Slice 80 of 155
FLAIR MR image.
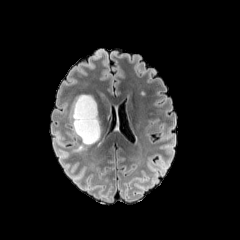
T1-weighted MR image.
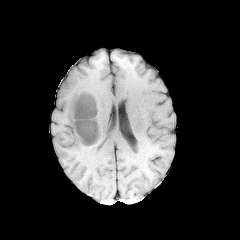
Post-contrast T1-weighted MR.
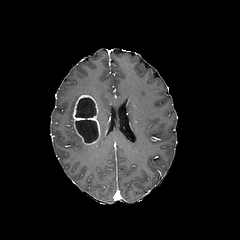
T2-weighted magnetic resonance.
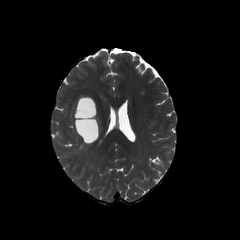
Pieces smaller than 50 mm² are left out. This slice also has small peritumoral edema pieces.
Findings:
* enhancing tumor: (73, 94, 100, 144)
* necrotic tumor core: (76, 120, 98, 143), (75, 98, 95, 117)